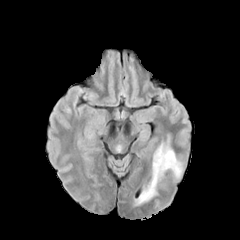
FLAIR MR.
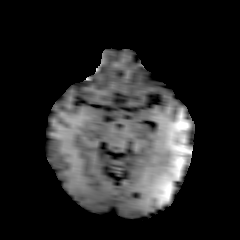
T1-weighted MRI of the same slice.
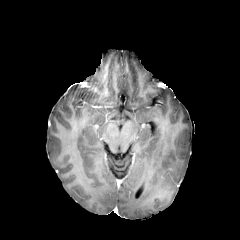
Post-contrast T1-weighted MRI.
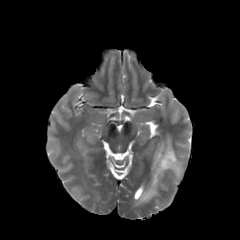
T2-weighted MR image.
Head; Axial plane
{
  "peritumoral_edema": [
    "l=140, t=137, r=181, b=201"
  ]
}